FLAIR MR image.
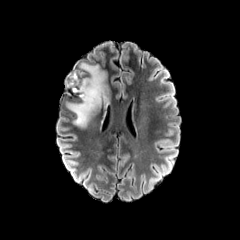
T1-weighted magnetic resonance.
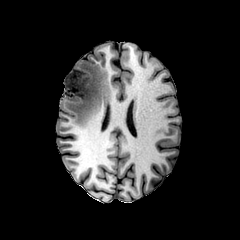
Post-contrast T1-weighted MR image.
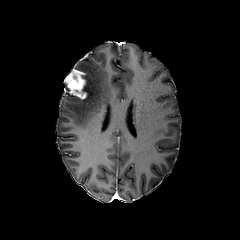
T2-weighted magnetic resonance.
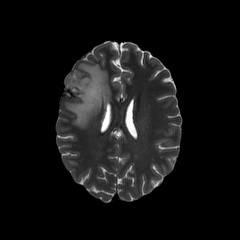
240x240 px
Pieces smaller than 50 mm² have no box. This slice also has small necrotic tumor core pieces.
enhancing tumor: bounding box {"x1": 64, "y1": 68, "x2": 86, "y2": 99}
peritumoral edema: bounding box {"x1": 66, "y1": 63, "x2": 108, "y2": 127}